FLAIR MR image.
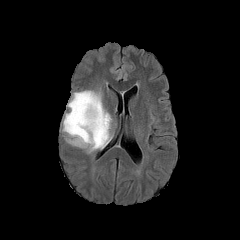
T1-weighted MRI.
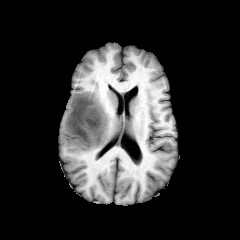
Post-contrast T1-weighted MRI.
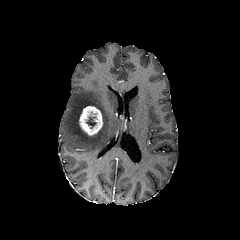
T2-weighted MRI.
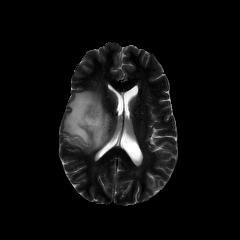
Axial plane. 240x240 px.
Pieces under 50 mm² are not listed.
The peritumoral edema appears at 63 90 111 152. The largest necrotic tumor core region is at 86 117 95 128. The enhancing tumor appears at 79 106 102 135.